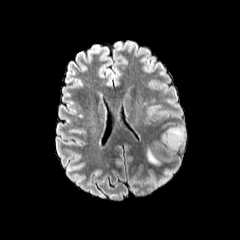
FLAIR MR image.
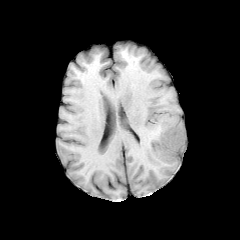
T1-weighted MRI.
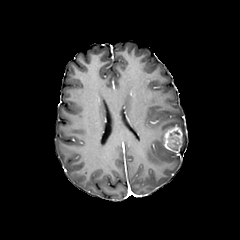
Post-contrast T1-weighted MR of the same slice.
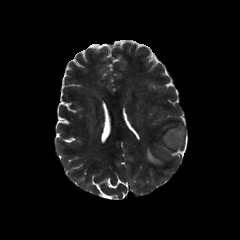
Same slice, T2-weighted MR image.
240x240.
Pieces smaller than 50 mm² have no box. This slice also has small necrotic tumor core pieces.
Findings:
- enhancing tumor: 163 125 182 155
- peritumoral edema: 177 125 185 150, 147 149 161 165